Axial plane.
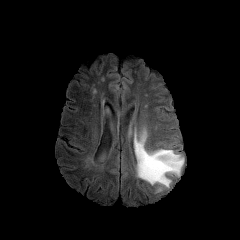
FLAIR MRI.
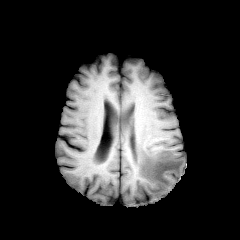
T1-weighted MR image.
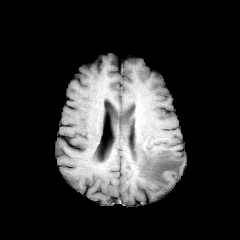
Post-contrast T1-weighted MRI of the same slice.
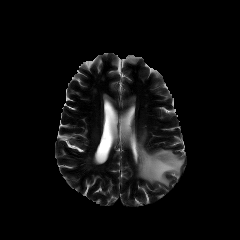
T2-weighted MR of the same slice.
• peritumoral edema: [134, 131, 184, 187]